FLAIR MR.
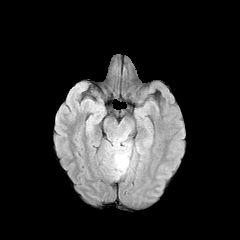
T1-weighted magnetic resonance.
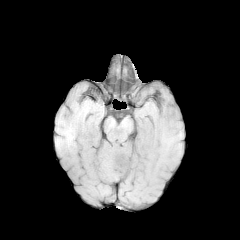
Post-contrast T1-weighted MR image.
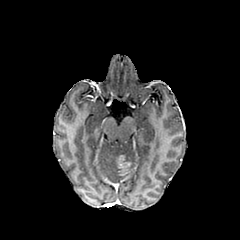
T2-weighted MRI.
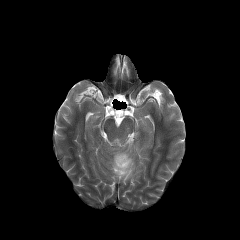
Axial slice
enhancing tumor: {"x1": 116, "y1": 155, "x2": 130, "y2": 175} | peritumoral edema: {"x1": 104, "y1": 127, "x2": 135, "y2": 179}